Slice 107 of 155. Brain. Image width 240 mm.
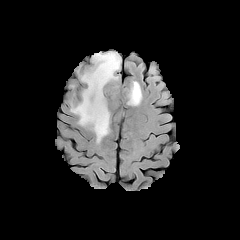
FLAIR MR.
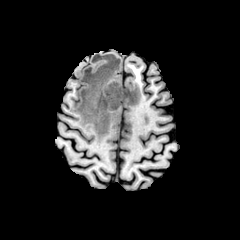
T1-weighted MR image.
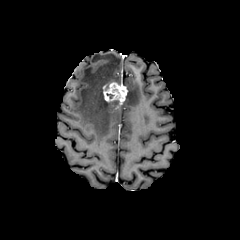
Post-contrast T1-weighted magnetic resonance of the same slice.
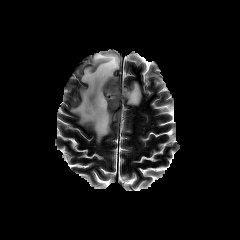
T2-weighted MRI.
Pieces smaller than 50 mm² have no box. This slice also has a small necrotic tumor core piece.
Annotated regions:
• enhancing tumor: l=103, t=82, r=127, b=104
• peritumoral edema: l=70, t=52, r=121, b=142; l=126, t=81, r=141, b=105